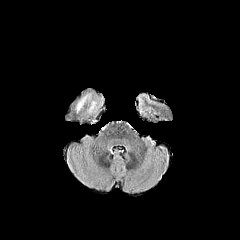
FLAIR MR image.
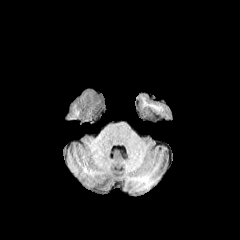
T1-weighted MR.
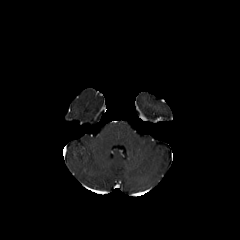
Post-contrast T1-weighted magnetic resonance.
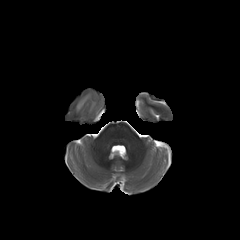
Same slice, T2-weighted MR image.
Axial plane.
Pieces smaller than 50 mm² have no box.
The largest peritumoral edema region appears at <bbox>76, 93, 98, 114</bbox>.